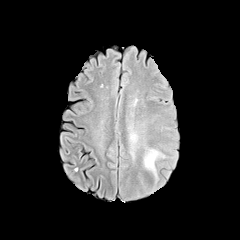
FLAIR MRI.
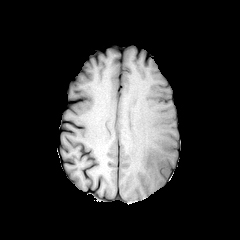
T1-weighted MRI.
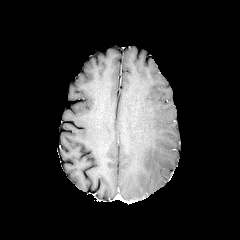
Post-contrast T1-weighted MR image of the same slice.
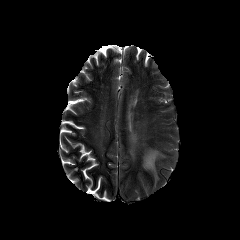
Same slice, T2-weighted MR image.
Head.
peritumoral edema: box=[143, 149, 164, 179]; box=[127, 134, 141, 161]